Image covers 240 mm x 240 mm.
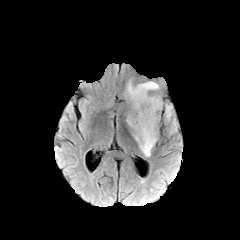
FLAIR magnetic resonance.
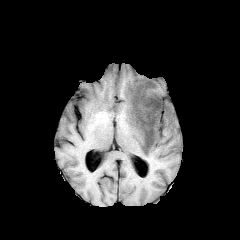
Same slice, T1-weighted MR.
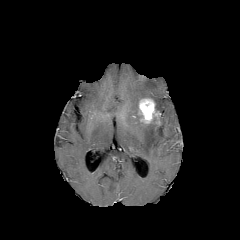
Post-contrast T1-weighted MR.
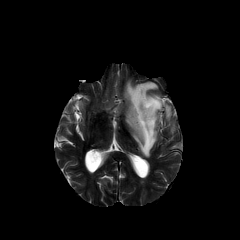
T2-weighted MR image.
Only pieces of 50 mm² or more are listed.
enhancing tumor = left=138, top=98, right=160, bottom=124
peritumoral edema = left=165, top=104, right=172, bottom=121; left=171, top=119, right=176, bottom=133; left=125, top=81, right=162, bottom=157